Image covers 240 mm x 240 mm
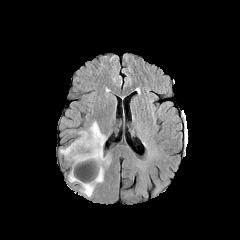
FLAIR magnetic resonance.
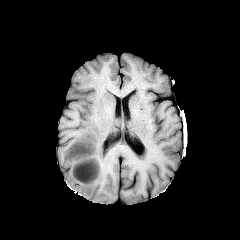
T1-weighted MRI.
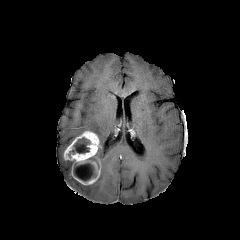
Post-contrast T1-weighted MRI of the same slice.
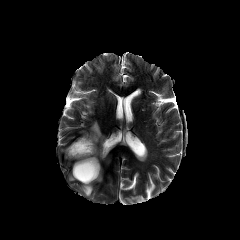
Same slice, T2-weighted MR image.
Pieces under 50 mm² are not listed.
The 2 largest peritumoral edema regions are bounded by (left=80, top=165, right=103, bottom=196), (left=88, top=121, right=110, bottom=164). 2 necrotic tumor core regions are located at (left=68, top=137, right=90, bottom=156), (left=73, top=162, right=95, bottom=181). The enhancing tumor is located at (left=64, top=131, right=100, bottom=184).